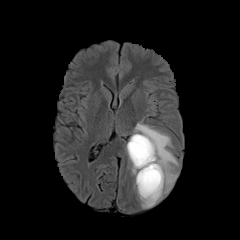
FLAIR magnetic resonance.
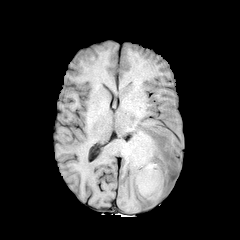
T1-weighted magnetic resonance of the same slice.
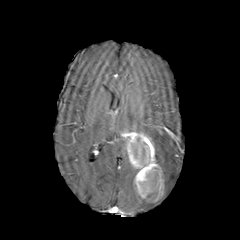
Same slice, post-contrast T1-weighted MR.
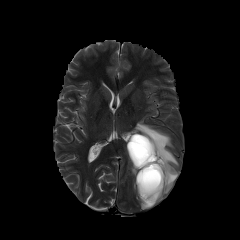
T2-weighted magnetic resonance.
Brain. Axial plane. 240x240 px.
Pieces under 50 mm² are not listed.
necrotic_tumor_core:
  - rect(139, 168, 158, 197)
  - rect(130, 138, 149, 166)
enhancing_tumor:
  - rect(127, 132, 164, 202)
peritumoral_edema:
  - rect(129, 161, 138, 177)
  - rect(132, 121, 179, 208)